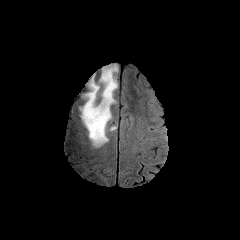
FLAIR MR image.
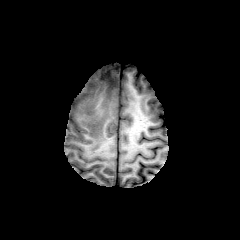
T1-weighted MRI.
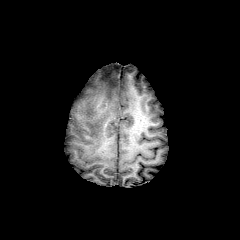
Post-contrast T1-weighted MRI of the same slice.
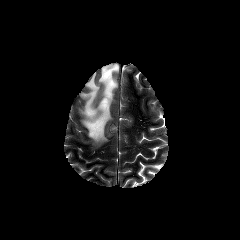
T2-weighted MRI.
Brain.
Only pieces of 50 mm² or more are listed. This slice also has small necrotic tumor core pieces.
The enhancing tumor is bounded by box=[97, 98, 107, 113]. The largest peritumoral edema region is located at box=[80, 64, 118, 145].